FLAIR MR.
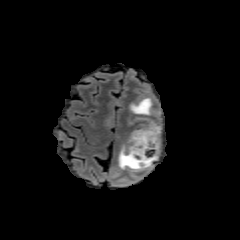
T1-weighted MR.
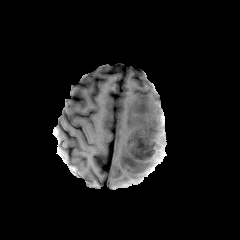
Post-contrast T1-weighted magnetic resonance.
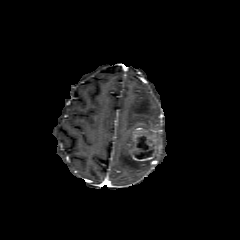
T2-weighted MR.
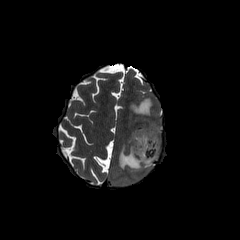
Segmented structures:
* necrotic tumor core: [133,134,151,158]
* peritumoral edema: [118,145,157,172], [127,117,161,128], [129,97,161,119]
* enhancing tumor: [129,123,162,161]